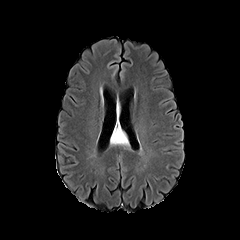
FLAIR MRI.
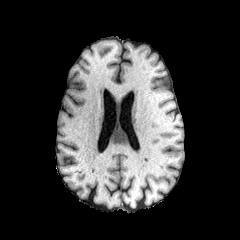
T1-weighted magnetic resonance.
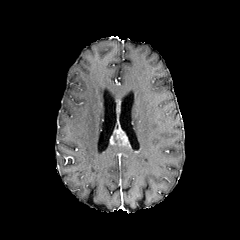
Post-contrast T1-weighted MR image.
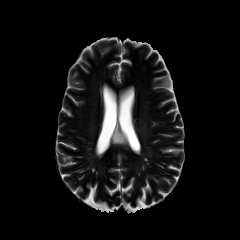
T2-weighted MR.
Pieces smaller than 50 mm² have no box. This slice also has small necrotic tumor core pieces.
enhancing tumor: bounding box left=110, top=127, right=129, bottom=146